Axial view; Brain; Slice index 72
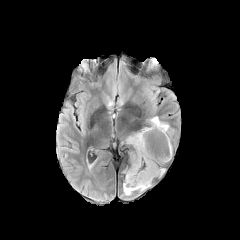
FLAIR MR image.
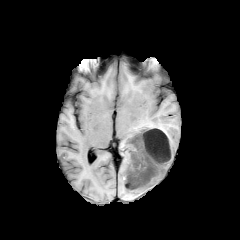
T1-weighted magnetic resonance.
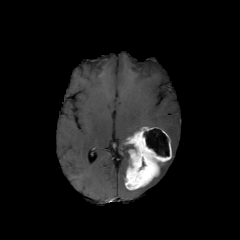
Post-contrast T1-weighted MR image.
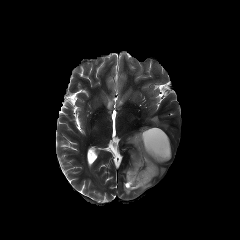
T2-weighted MR.
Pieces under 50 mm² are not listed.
The largest necrotic tumor core region is at box(144, 128, 169, 156). The 3 largest peritumoral edema regions are located at box(123, 183, 135, 195); box(137, 182, 151, 191); box(150, 116, 168, 132). The enhancing tumor is bounded by box(125, 127, 171, 190).